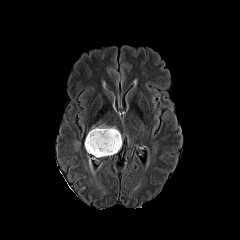
FLAIR magnetic resonance.
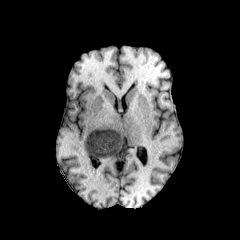
T1-weighted magnetic resonance.
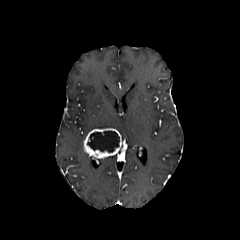
Post-contrast T1-weighted magnetic resonance.
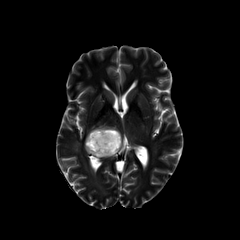
T2-weighted MR image of the same slice.
Axial view.
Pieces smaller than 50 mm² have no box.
The necrotic tumor core is bounded by 87, 131, 119, 152. The enhancing tumor is at 84, 128, 122, 158. The largest peritumoral edema region appears at 90, 124, 115, 130.